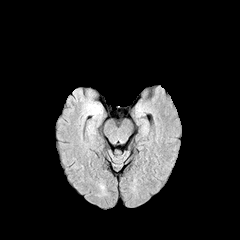
FLAIR magnetic resonance.
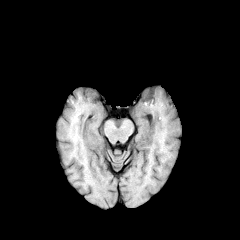
T1-weighted MR image.
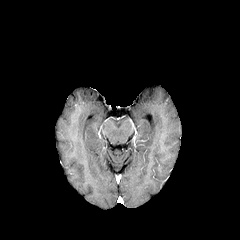
Post-contrast T1-weighted MRI of the same slice.
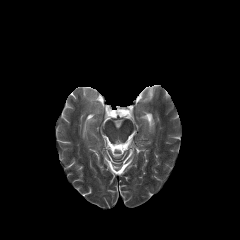
T2-weighted MR image of the same slice.
240x240, Head
peritumoral edema — l=90, t=103, r=100, b=113